Image width 240 mm; 240x240 px; Head
FLAIR MR.
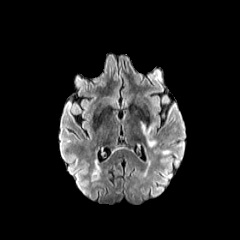
T1-weighted MR.
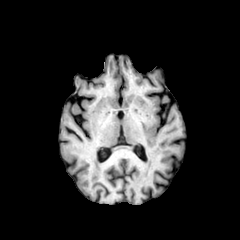
Post-contrast T1-weighted MR.
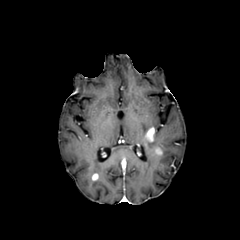
T2-weighted MR image.
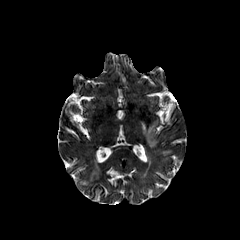
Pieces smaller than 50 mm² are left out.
<segmentation>
  <enhancing_tumor>x1=145, y1=127, x2=154, y2=141</enhancing_tumor>
  <peritumoral_edema>x1=147, y1=139, x2=156, y2=147; x1=141, y1=122, x2=155, y2=134</peritumoral_edema>
</segmentation>